240x240. Head. Axial slice.
FLAIR magnetic resonance.
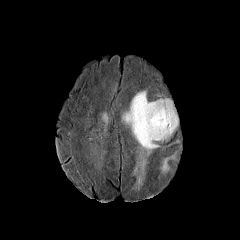
T1-weighted magnetic resonance.
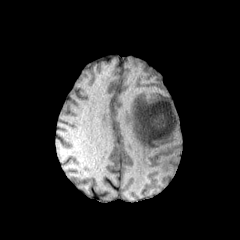
Post-contrast T1-weighted MR image.
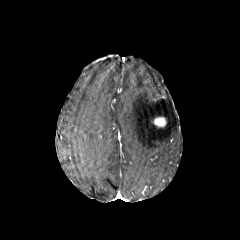
T2-weighted MRI.
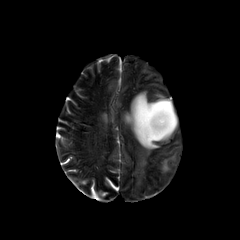
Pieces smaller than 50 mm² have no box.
<segmentation>
  <enhancing_tumor>bbox(152, 116, 167, 128)</enhancing_tumor>
  <peritumoral_edema>bbox(122, 90, 178, 188); bbox(160, 155, 174, 173)</peritumoral_edema>
</segmentation>